FLAIR MR.
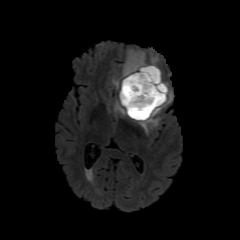
T1-weighted MR.
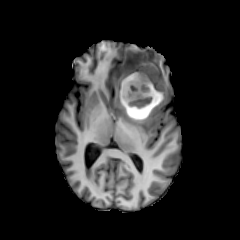
Post-contrast T1-weighted MR image.
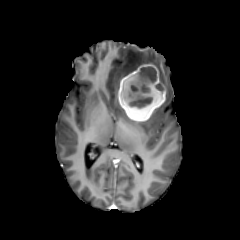
T2-weighted magnetic resonance.
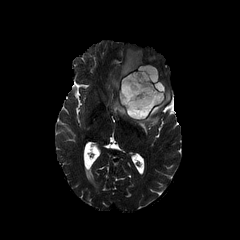
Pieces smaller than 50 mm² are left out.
{
  "peritumoral_edema": [
    "<box>113,99,126,115</box>",
    "<box>137,68,173,134</box>",
    "<box>112,49,145,91</box>",
    "<box>150,55,158,65</box>"
  ],
  "enhancing_tumor": [
    "<box>118,64,165,121</box>"
  ],
  "necrotic_tumor_core": [
    "<box>121,66,159,118</box>"
  ]
}